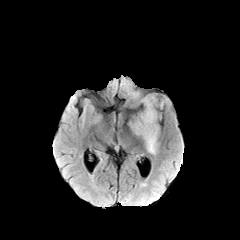
FLAIR MR image.
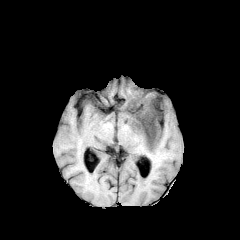
T1-weighted MR image.
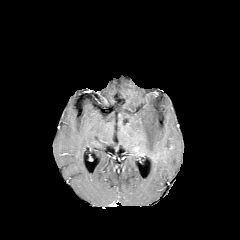
Post-contrast T1-weighted MR of the same slice.
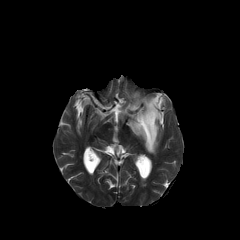
T2-weighted MR image.
240x240 px | Axial plane
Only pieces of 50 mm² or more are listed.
Findings:
• peritumoral edema: [130,97,162,154]